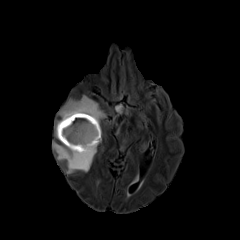
FLAIR MR.
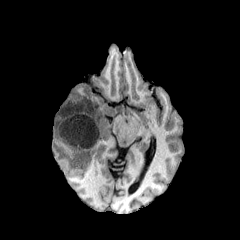
T1-weighted MR image.
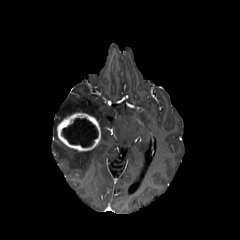
Post-contrast T1-weighted MRI.
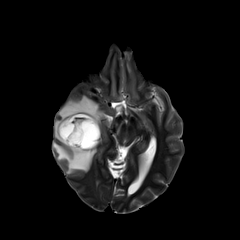
Same slice, T2-weighted magnetic resonance.
Head
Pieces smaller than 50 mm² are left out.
necrotic tumor core: (left=61, top=118, right=98, bottom=147)
peritumoral edema: (left=54, top=95, right=105, bottom=139), (left=52, top=141, right=96, bottom=173)
enhancing tumor: (left=57, top=112, right=100, bottom=151)